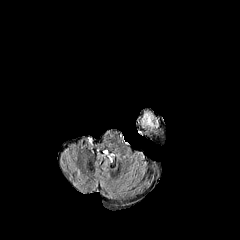
FLAIR MR image.
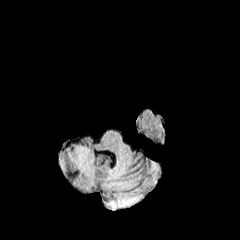
T1-weighted MR image.
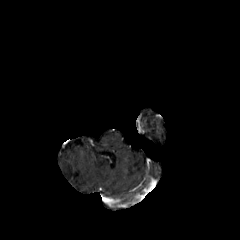
Post-contrast T1-weighted MRI.
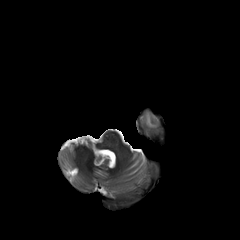
Same slice, T2-weighted MR.
Brain. Axial view.
peritumoral edema: 144, 113, 157, 126